Head, Slice 107/155
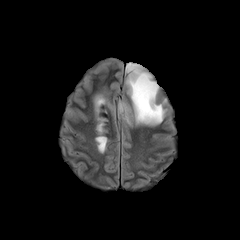
FLAIR MRI.
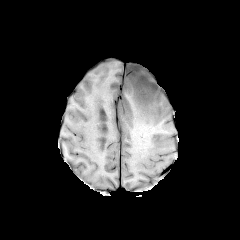
T1-weighted magnetic resonance of the same slice.
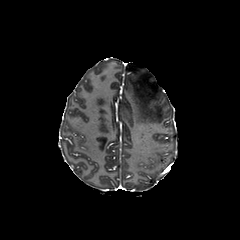
Post-contrast T1-weighted MRI.
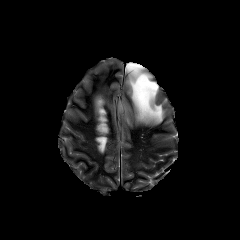
T2-weighted magnetic resonance.
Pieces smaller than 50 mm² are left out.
The 3 largest peritumoral edema regions are bounded by [95, 96, 104, 106], [126, 63, 164, 124], [119, 102, 126, 111].